FLAIR MR image.
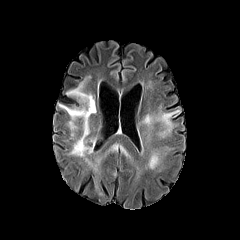
T1-weighted MRI.
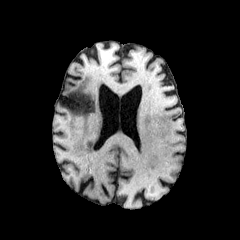
Post-contrast T1-weighted magnetic resonance.
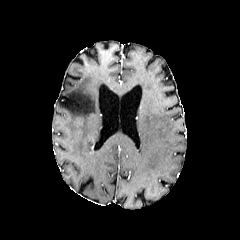
T2-weighted MR image.
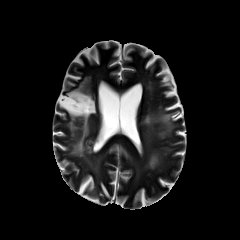
Axial slice, Brain
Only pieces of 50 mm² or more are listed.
The 6 largest peritumoral edema regions are located at rect(142, 112, 154, 124); rect(149, 149, 160, 168); rect(58, 75, 96, 157); rect(120, 146, 129, 158); rect(104, 142, 117, 156); rect(157, 110, 179, 138).